Head, Axial view, Image width 240 mm
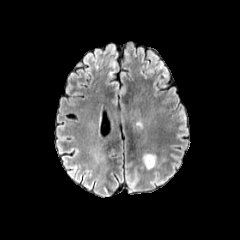
FLAIR magnetic resonance.
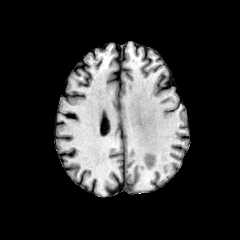
T1-weighted MR of the same slice.
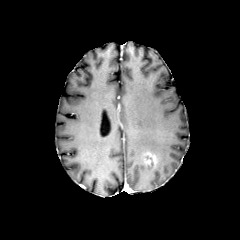
Post-contrast T1-weighted magnetic resonance.
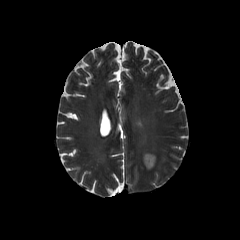
Same slice, T2-weighted MRI.
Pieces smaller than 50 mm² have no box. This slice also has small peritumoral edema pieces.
The enhancing tumor is located at {"x1": 144, "y1": 153, "x2": 156, "y2": 167}.